FLAIR MRI.
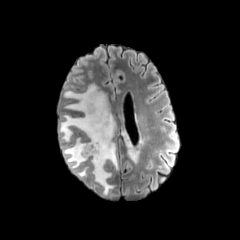
T1-weighted MR.
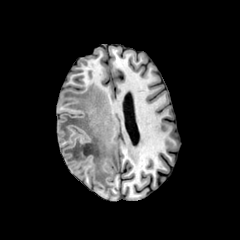
Post-contrast T1-weighted MR.
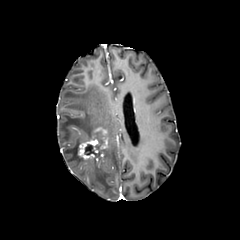
T2-weighted MR.
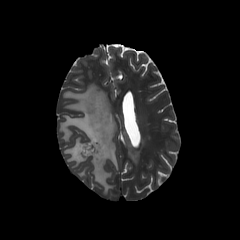
Brain, 240x240 px
necrotic tumor core — box(84, 131, 104, 159)
enhancing tumor — box(77, 128, 108, 163)
peritumoral edema — box(59, 84, 118, 195); box(120, 130, 143, 163); box(63, 137, 87, 170); box(76, 166, 88, 177)